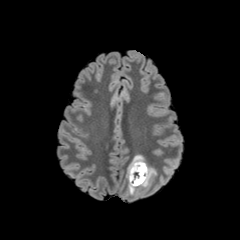
FLAIR MR image.
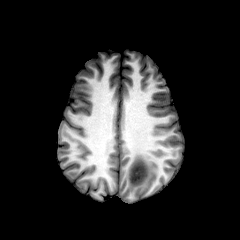
Same slice, T1-weighted MR image.
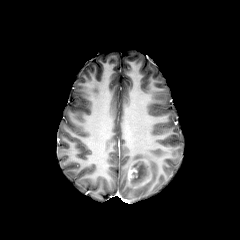
Post-contrast T1-weighted MRI of the same slice.
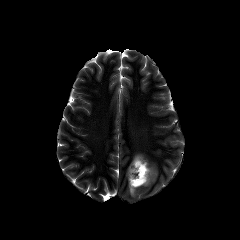
T2-weighted magnetic resonance.
Brain | Image size 240x240
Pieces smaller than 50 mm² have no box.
enhancing tumor: bounding box <bbox>128, 167, 151, 187</bbox>
peritumoral edema: bounding box <bbox>128, 162, 156, 195</bbox>, <bbox>128, 154, 144, 170</bbox>
necrotic tumor core: bounding box <bbox>131, 161, 147, 185</bbox>